Slice 65/155 | 240x240 | Image covers 240 mm x 240 mm
FLAIR magnetic resonance.
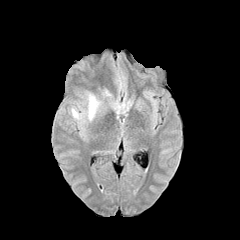
T1-weighted MRI.
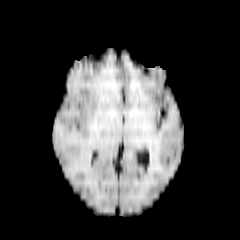
Post-contrast T1-weighted magnetic resonance.
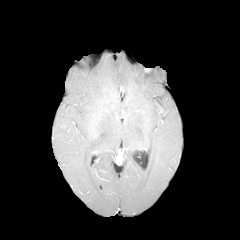
T2-weighted MRI.
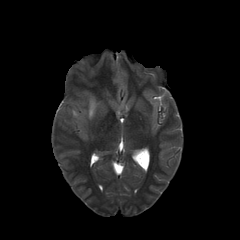
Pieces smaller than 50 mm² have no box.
<segmentation>
  <peritumoral_edema><bbox>72, 109, 79, 118</bbox>, <bbox>87, 94, 98, 120</bbox></peritumoral_edema>
</segmentation>